FLAIR magnetic resonance.
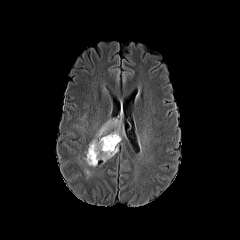
T1-weighted magnetic resonance.
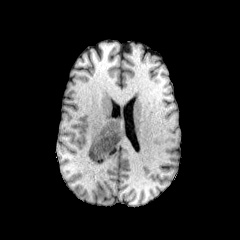
Post-contrast T1-weighted MR image.
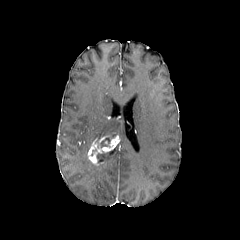
T2-weighted MRI.
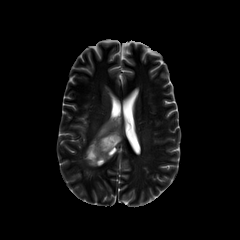
240x240; Axial view
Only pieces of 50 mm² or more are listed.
peritumoral edema: [x1=95, y1=119, x2=121, y2=139], [x1=97, y1=146, x2=117, y2=161], [x1=84, y1=152, x2=96, y2=166] | necrotic tumor core: [x1=100, y1=138, x2=110, y2=147] | enhancing tumor: [x1=88, y1=134, x2=120, y2=164]